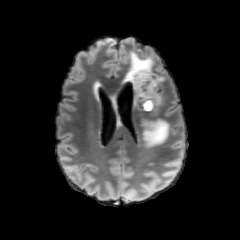
FLAIR MR.
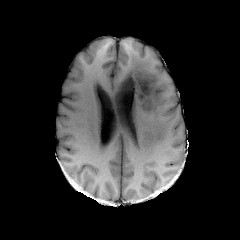
T1-weighted MR.
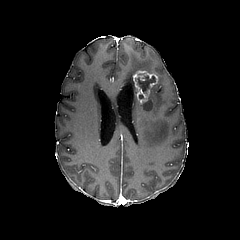
Post-contrast T1-weighted MR.
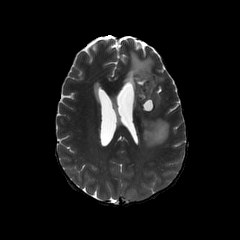
Same slice, T2-weighted MR image.
Axial slice | Image size 240x240 | Head
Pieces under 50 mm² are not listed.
4 peritumoral edema regions are located at <bbox>151, 75, 163, 104</bbox>, <bbox>143, 120, 169, 147</bbox>, <bbox>133, 89, 137, 105</bbox>, <bbox>125, 51, 153, 82</bbox>. The largest enhancing tumor region is at <bbox>130, 70, 158, 104</bbox>. The 2 largest necrotic tumor core regions are bounded by <bbox>143, 100, 152, 110</bbox>, <bbox>137, 75, 155, 92</bbox>.